Head | 240x240 px | Axial view
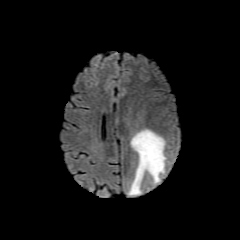
FLAIR MR.
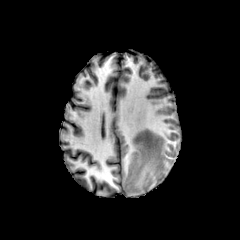
Same slice, T1-weighted MR image.
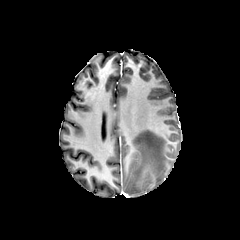
Post-contrast T1-weighted magnetic resonance.
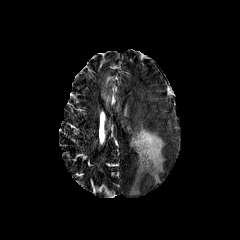
T2-weighted MRI.
peritumoral edema: bounding box 128 129 166 195